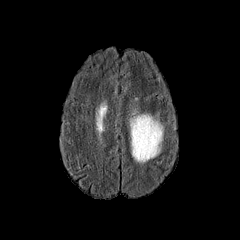
FLAIR magnetic resonance.
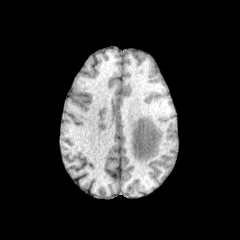
T1-weighted magnetic resonance of the same slice.
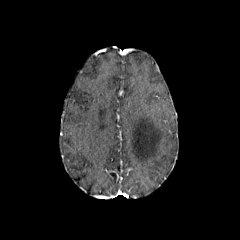
Post-contrast T1-weighted MR image.
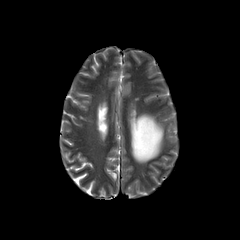
T2-weighted magnetic resonance.
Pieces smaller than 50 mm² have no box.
peritumoral edema: bounding box [130, 114, 163, 162]